Slice index 81 | Axial slice | Image size 240x240
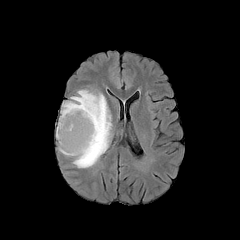
FLAIR MR.
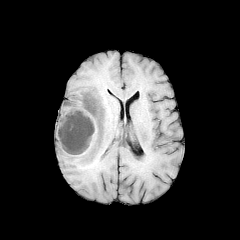
Same slice, T1-weighted magnetic resonance.
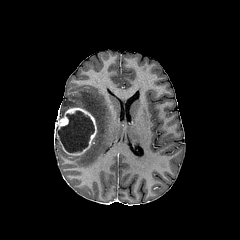
Post-contrast T1-weighted MR image.
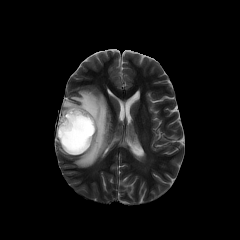
T2-weighted magnetic resonance.
The enhancing tumor is located at (55,107,96,155). The necrotic tumor core is at (57,111,94,152). The peritumoral edema is located at (58,90,111,167).